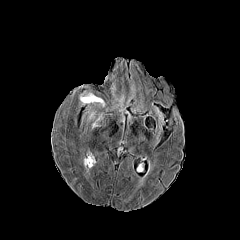
FLAIR MRI.
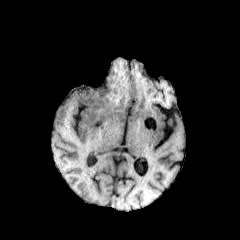
Same slice, T1-weighted MR.
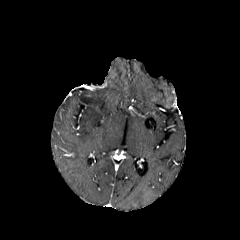
Post-contrast T1-weighted MRI of the same slice.
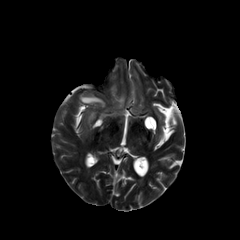
Same slice, T2-weighted MRI.
peritumoral_edema:
  - rect(80, 95, 104, 104)